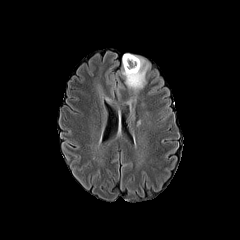
FLAIR MR.
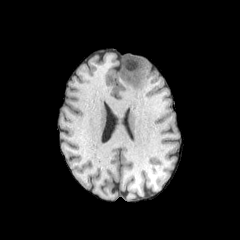
T1-weighted MR image.
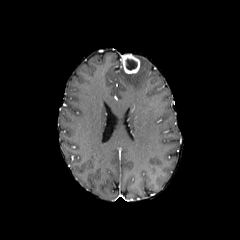
Same slice, post-contrast T1-weighted MR.
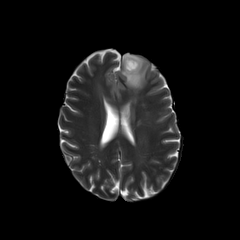
T2-weighted MR.
Axial slice. Head.
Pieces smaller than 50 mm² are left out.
The 2 largest peritumoral edema regions are located at {"x1": 121, "y1": 56, "x2": 149, "y2": 92}, {"x1": 128, "y1": 107, "x2": 135, "y2": 121}. The enhancing tumor is at {"x1": 122, "y1": 54, "x2": 139, "y2": 73}. The necrotic tumor core lies within {"x1": 125, "y1": 58, "x2": 137, "y2": 70}.